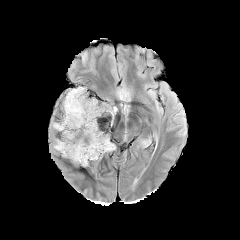
FLAIR MRI.
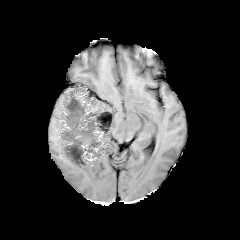
Same slice, T1-weighted MR image.
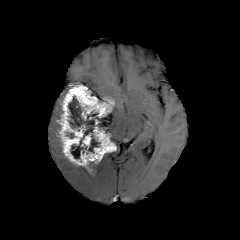
Post-contrast T1-weighted MR image.
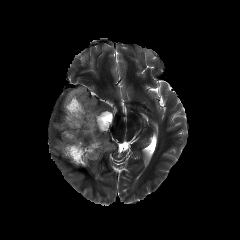
T2-weighted magnetic resonance.
240x240 px
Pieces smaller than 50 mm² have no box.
necrotic tumor core = rect(88, 134, 100, 152); rect(68, 96, 111, 158)
peritumoral edema = rect(54, 139, 64, 156); rect(52, 123, 60, 130)
enhancing tumor = rect(58, 85, 116, 168)